Brain; Slice index 114; Image size 240x240
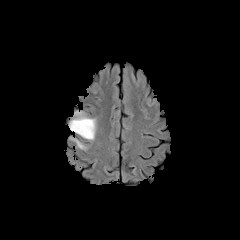
FLAIR magnetic resonance.
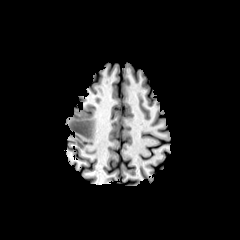
T1-weighted magnetic resonance.
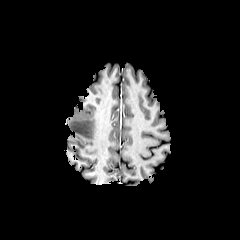
Post-contrast T1-weighted MR.
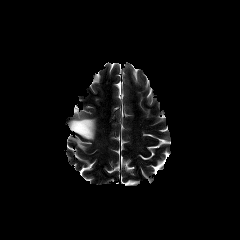
T2-weighted MR.
2 peritumoral edema regions are located at <box>69,110,96,140</box>, <box>70,137,86,149</box>.